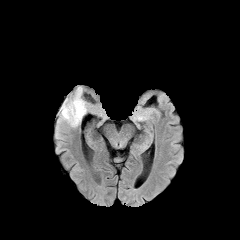
FLAIR magnetic resonance.
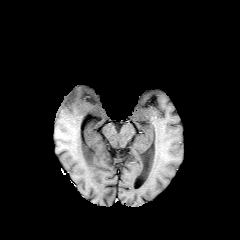
T1-weighted MRI.
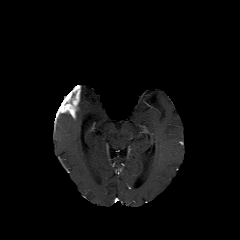
Post-contrast T1-weighted MRI of the same slice.
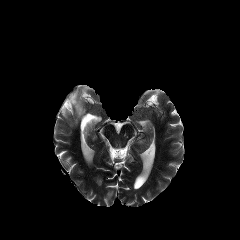
T2-weighted MR image.
Head, Axial view
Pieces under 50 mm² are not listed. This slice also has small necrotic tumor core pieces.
Annotated regions:
• enhancing tumor: <bbox>56, 85, 81, 118</bbox>
• peritumoral edema: <bbox>57, 87, 90, 127</bbox>